FLAIR MR.
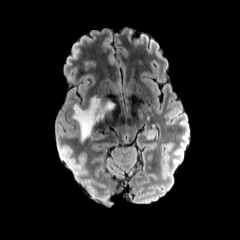
T1-weighted magnetic resonance.
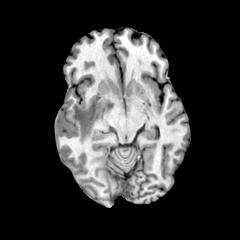
Post-contrast T1-weighted MRI.
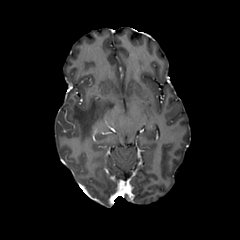
T2-weighted magnetic resonance.
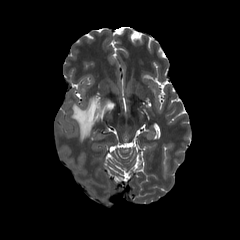
Head
The peritumoral edema is bounded by [72,96,114,141].